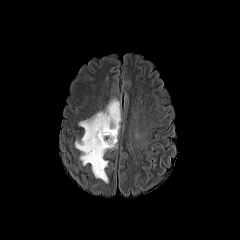
FLAIR MRI.
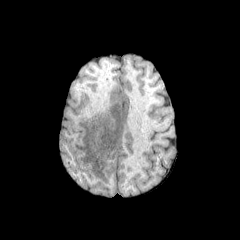
T1-weighted MR.
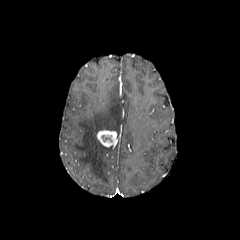
Post-contrast T1-weighted MR of the same slice.
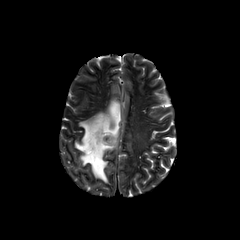
T2-weighted magnetic resonance of the same slice.
Head, 240x240 px
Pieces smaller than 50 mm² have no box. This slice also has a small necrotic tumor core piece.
enhancing tumor: <bbox>97, 130, 116, 147</bbox> | peritumoral edema: <bbox>75, 99, 121, 183</bbox>